FLAIR magnetic resonance.
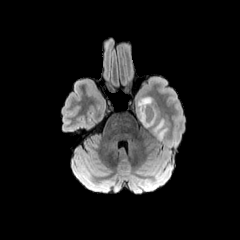
T1-weighted MRI.
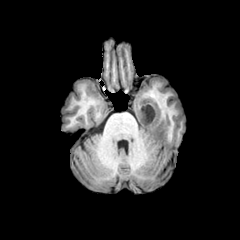
Post-contrast T1-weighted magnetic resonance.
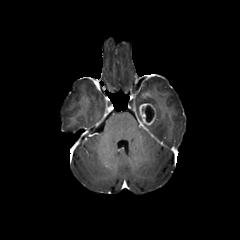
T2-weighted MR image.
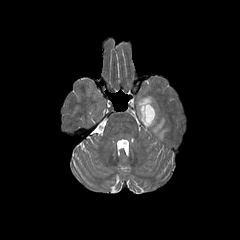
<segmentation>
  <necrotic_tumor_core>x1=142 y1=105 x2=154 y2=122</necrotic_tumor_core>
  <peritumoral_edema>x1=136 y1=96 x2=168 y2=140</peritumoral_edema>
  <enhancing_tumor>x1=139 y1=103 x2=156 y2=127</enhancing_tumor>
</segmentation>